Head
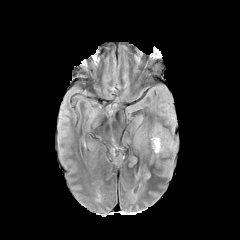
FLAIR MRI.
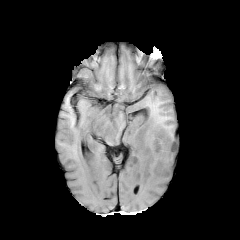
T1-weighted magnetic resonance.
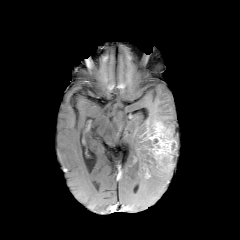
Post-contrast T1-weighted MRI.
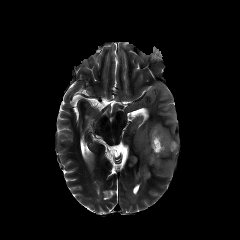
T2-weighted MR image of the same slice.
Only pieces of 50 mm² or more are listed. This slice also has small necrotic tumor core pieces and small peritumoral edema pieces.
• enhancing tumor: [139, 163, 149, 179], [143, 124, 177, 164]